FLAIR magnetic resonance.
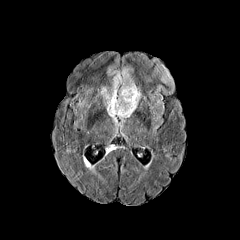
T1-weighted magnetic resonance.
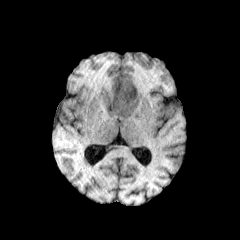
Post-contrast T1-weighted magnetic resonance.
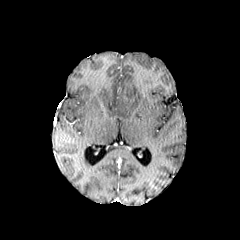
T2-weighted MR image.
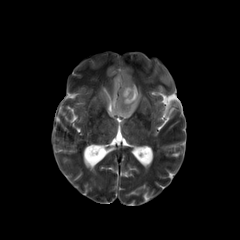
Head; Axial view
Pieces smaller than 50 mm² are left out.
peritumoral edema at [100,65,141,122]
enhancing tumor at [123,88,135,101]